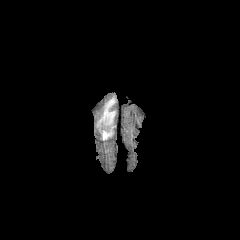
FLAIR magnetic resonance.
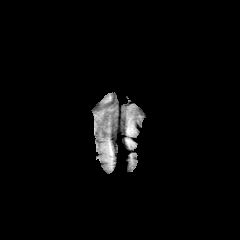
T1-weighted magnetic resonance.
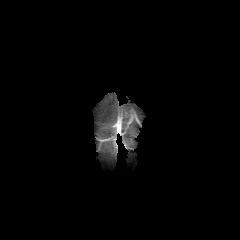
Post-contrast T1-weighted MR of the same slice.
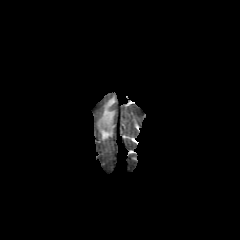
T2-weighted MR image of the same slice.
240x240 | Brain | Axial plane
peritumoral_edema:
  - {"x1": 98, "y1": 98, "x2": 115, "y2": 125}
  - {"x1": 101, "y1": 130, "x2": 111, "y2": 138}